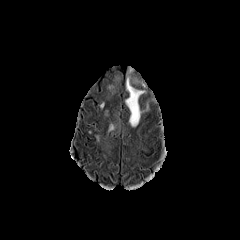
FLAIR MR.
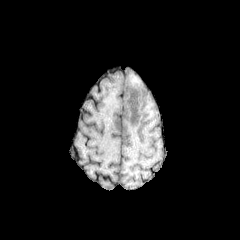
T1-weighted MRI of the same slice.
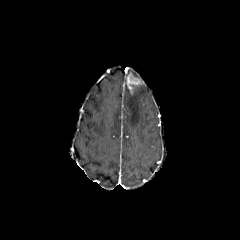
Same slice, post-contrast T1-weighted MRI.
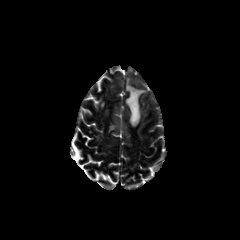
T2-weighted MRI of the same slice.
Image size 240x240; Axial view; Brain
enhancing tumor — bbox=[126, 72, 142, 94]
peritumoral edema — bbox=[125, 87, 145, 126]